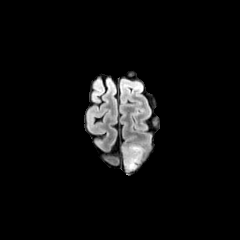
FLAIR MR.
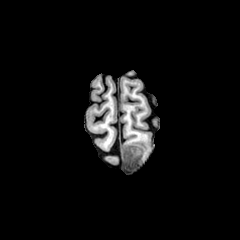
T1-weighted MRI.
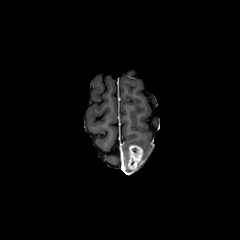
Same slice, post-contrast T1-weighted MR.
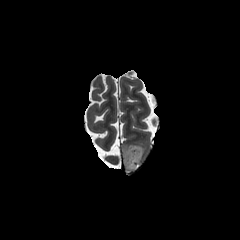
T2-weighted magnetic resonance.
Axial slice, 240x240
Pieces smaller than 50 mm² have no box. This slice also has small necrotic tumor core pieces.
The enhancing tumor is at 124,145,143,170. The largest peritumoral edema region is bounded by 122,143,145,160.